Brain. Image size 240x240.
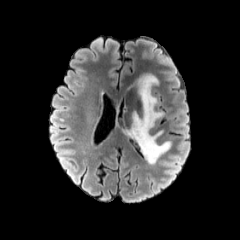
FLAIR MRI.
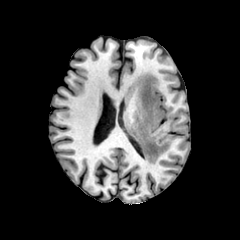
T1-weighted MR.
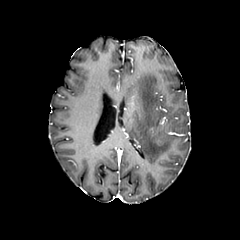
Post-contrast T1-weighted MR image of the same slice.
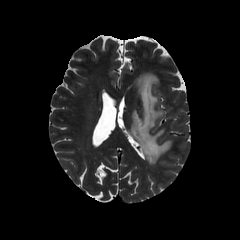
T2-weighted magnetic resonance of the same slice.
peritumoral edema: bounding box (130, 73, 171, 164)